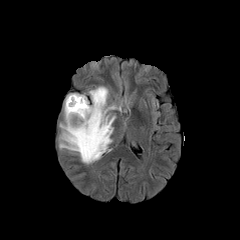
FLAIR MR.
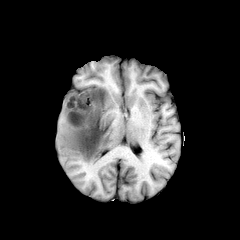
T1-weighted magnetic resonance of the same slice.
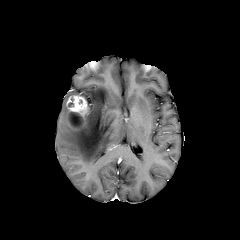
Same slice, post-contrast T1-weighted MR.
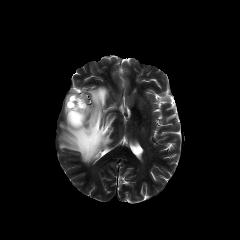
T2-weighted MR.
Axial slice | 240x240
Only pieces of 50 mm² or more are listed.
peritumoral edema: [59, 86, 120, 164]
necrotic tumor core: [69, 112, 83, 126]
enhancing tumor: [66, 95, 89, 129]